Image size 240x240. Head. Image covers 240 mm x 240 mm.
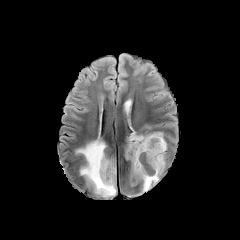
FLAIR MR.
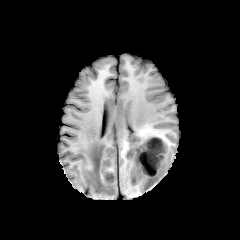
T1-weighted MR image of the same slice.
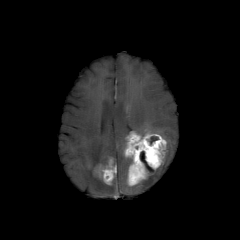
Post-contrast T1-weighted MRI.
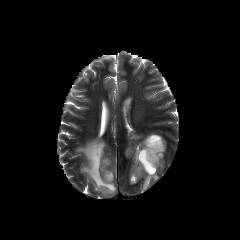
T2-weighted magnetic resonance of the same slice.
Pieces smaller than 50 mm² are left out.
- peritumoral edema: rect(76, 138, 116, 197); rect(141, 158, 165, 191); rect(138, 132, 163, 138)
- enhancing tumor: rect(94, 159, 116, 184); rect(125, 131, 166, 185)
- necrotic tumor core: rect(140, 151, 155, 174)